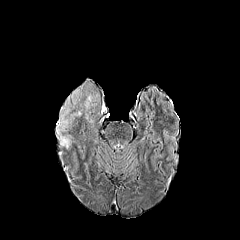
FLAIR MR image.
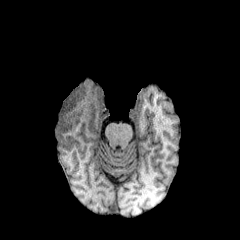
T1-weighted MR.
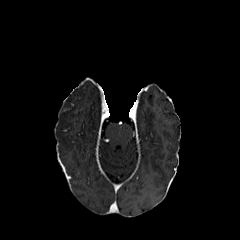
Post-contrast T1-weighted MR.
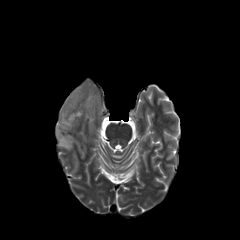
T2-weighted MR.
Axial view, Head
Annotated regions:
- peritumoral edema: l=80, t=92, r=99, b=122; l=71, t=86, r=82, b=104; l=56, t=99, r=82, b=149